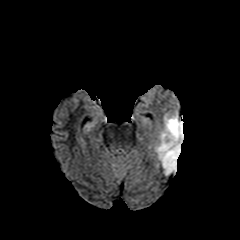
FLAIR MRI.
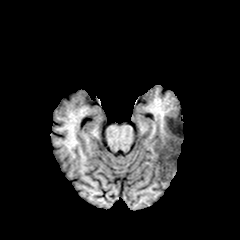
Same slice, T1-weighted magnetic resonance.
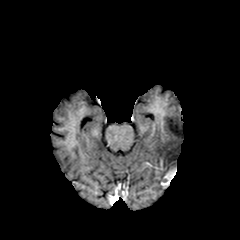
Post-contrast T1-weighted MR image of the same slice.
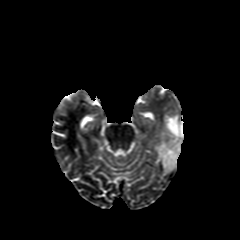
Same slice, T2-weighted MR image.
Image size 240x240
peritumoral edema: bounding box (155,112,183,173)